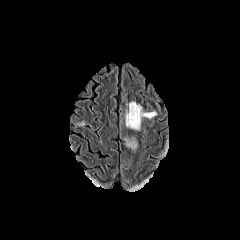
FLAIR MRI.
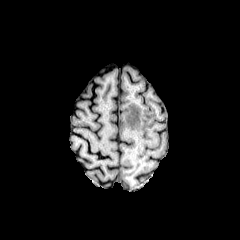
T1-weighted magnetic resonance.
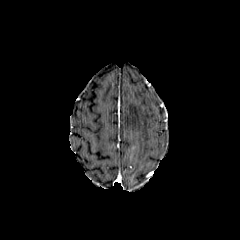
Post-contrast T1-weighted MR of the same slice.
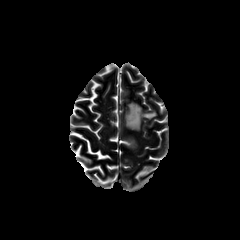
T2-weighted magnetic resonance of the same slice.
Axial view. Head.
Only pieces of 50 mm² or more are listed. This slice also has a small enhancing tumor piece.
peritumoral edema — x1=125, y1=139, x2=137, y2=148; x1=125, y1=101, x2=156, y2=130